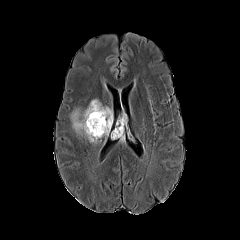
FLAIR MRI.
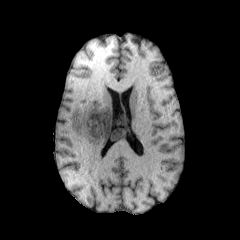
T1-weighted MR of the same slice.
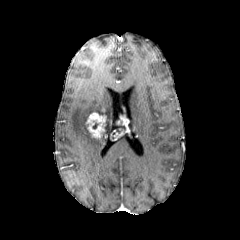
Post-contrast T1-weighted MR image.
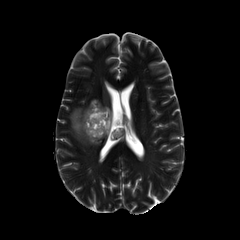
T2-weighted magnetic resonance of the same slice.
240x240
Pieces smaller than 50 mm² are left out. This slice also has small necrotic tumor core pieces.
enhancing_tumor:
  - x1=111, y1=128, x2=124, y2=139
  - x1=86, y1=112, x2=106, y2=138
  - x1=116, y1=115, x2=127, y2=125
peritumoral_edema:
  - x1=71, y1=99, x2=112, y2=143